240x240. Brain.
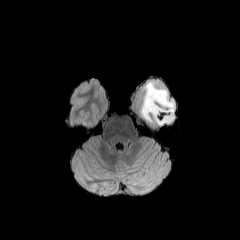
FLAIR MR image.
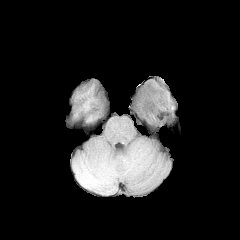
Same slice, T1-weighted magnetic resonance.
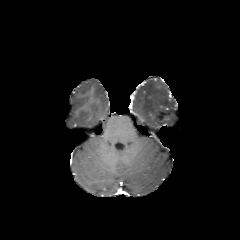
Post-contrast T1-weighted MR.
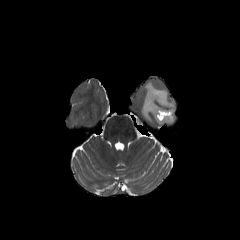
T2-weighted magnetic resonance of the same slice.
{
  "peritumoral_edema": [
    "<box>141,81,175,124</box>"
  ]
}